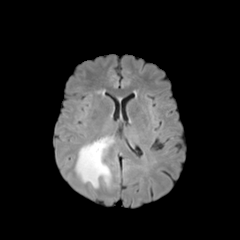
FLAIR MRI.
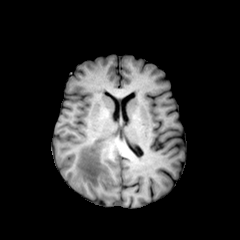
T1-weighted MRI.
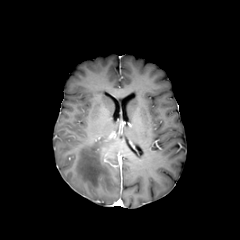
Post-contrast T1-weighted magnetic resonance.
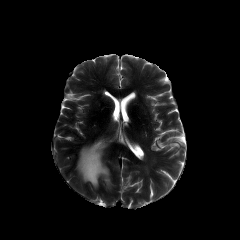
T2-weighted MRI of the same slice.
Image size 240x240; Brain
peritumoral edema = [75,137,113,188]